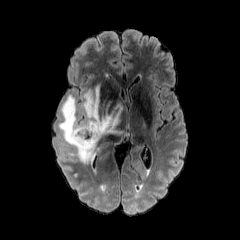
FLAIR MRI.
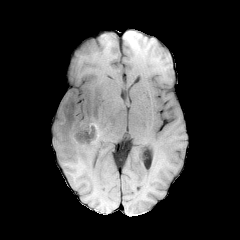
T1-weighted magnetic resonance of the same slice.
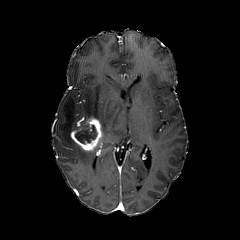
Post-contrast T1-weighted MRI.
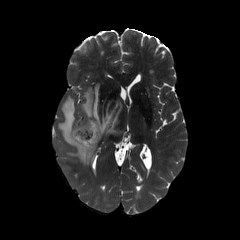
T2-weighted magnetic resonance.
Axial plane | 240x240 | Head
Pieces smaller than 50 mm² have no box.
{
  "enhancing_tumor": [
    "region(71, 118, 102, 150)"
  ],
  "necrotic_tumor_core": [
    "region(75, 121, 97, 143)"
  ],
  "peritumoral_edema": [
    "region(58, 95, 99, 173)",
    "region(80, 85, 129, 145)"
  ]
}